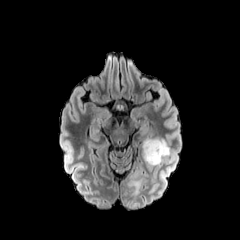
FLAIR magnetic resonance.
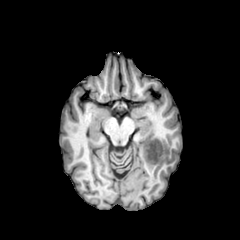
T1-weighted MR of the same slice.
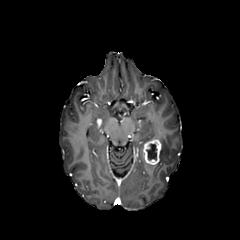
Post-contrast T1-weighted MR of the same slice.
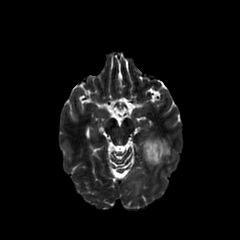
T2-weighted MRI.
Head
{"necrotic_tumor_core": ["x1=146 y1=144 x2=156 y2=160"], "peritumoral_edema": ["x1=128 y1=179 x2=141 y2=195", "x1=142 y1=137 x2=170 y2=166"], "enhancing_tumor": ["x1=143 y1=139 x2=161 y2=164"]}